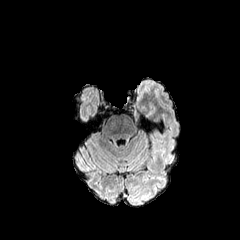
FLAIR MR image.
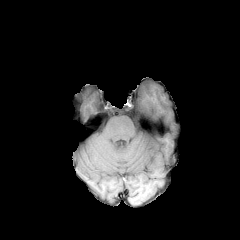
T1-weighted MR.
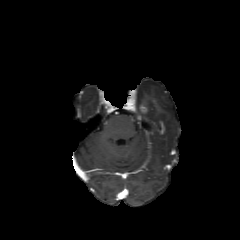
Post-contrast T1-weighted magnetic resonance of the same slice.
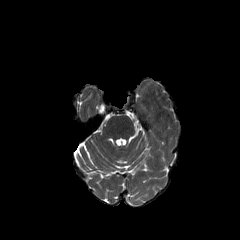
T2-weighted MR image.
Brain
<segmentation>
  <enhancing_tumor>139,104,147,113</enhancing_tumor>
</segmentation>